FLAIR MR.
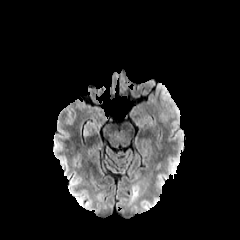
T1-weighted MR image.
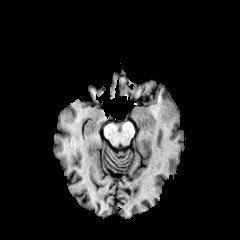
Post-contrast T1-weighted magnetic resonance.
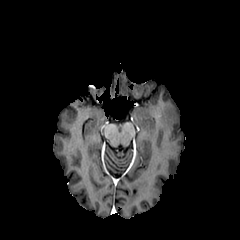
T2-weighted magnetic resonance.
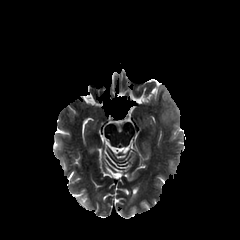
Head | Axial view | 240x240 px
Segmented structures:
• peritumoral edema: 161:87:178:121